Head, Slice 79 of 155
FLAIR MR image.
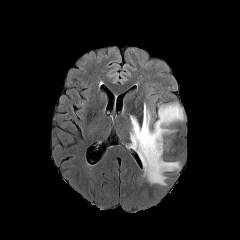
T1-weighted MR.
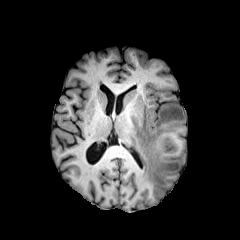
Post-contrast T1-weighted MR.
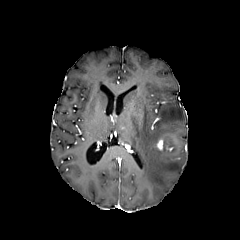
T2-weighted magnetic resonance.
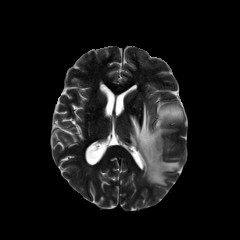
enhancing tumor: bounding box {"x1": 156, "y1": 139, "x2": 163, "y2": 149}
peritumoral edema: bounding box {"x1": 130, "y1": 103, "x2": 183, "y2": 185}